FLAIR MRI.
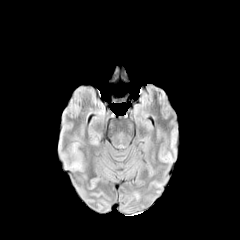
T1-weighted magnetic resonance.
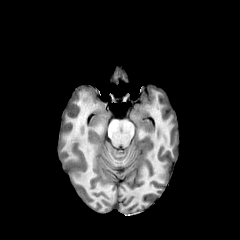
Post-contrast T1-weighted MRI.
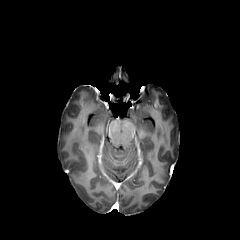
T2-weighted MRI.
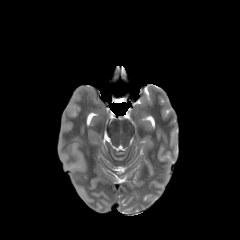
peritumoral_edema:
  - 71, 163, 81, 169